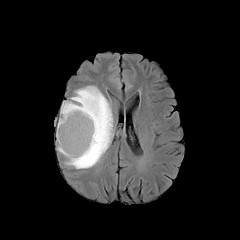
FLAIR magnetic resonance.
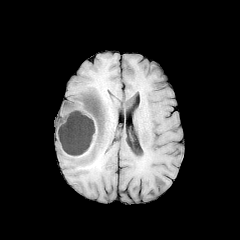
Same slice, T1-weighted MRI.
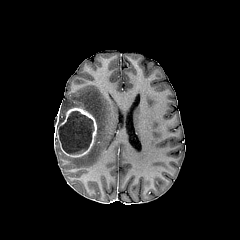
Post-contrast T1-weighted MR.
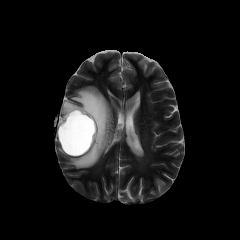
T2-weighted MR image.
Head
enhancing tumor at {"x1": 56, "y1": 107, "x2": 96, "y2": 157}
necrotic tumor core at {"x1": 58, "y1": 111, "x2": 93, "y2": 154}
peritumoral edema at {"x1": 57, "y1": 86, "x2": 112, "y2": 168}